FLAIR MR.
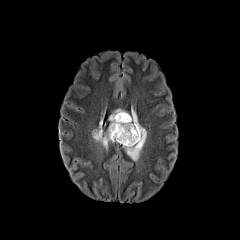
T1-weighted MR image.
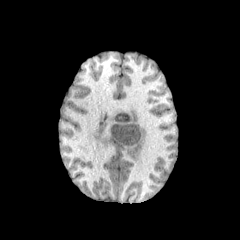
Post-contrast T1-weighted MR image.
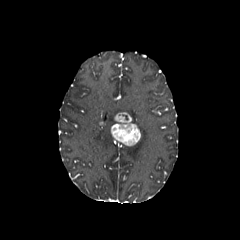
T2-weighted magnetic resonance.
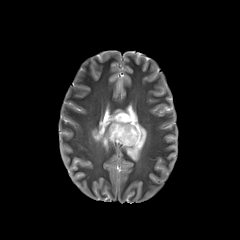
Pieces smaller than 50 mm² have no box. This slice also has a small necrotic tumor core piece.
2 peritumoral edema regions are bounded by [123,108,146,160], [92,109,125,149]. The enhancing tumor lies within [110,112,140,146].